Slice index 69. Axial slice.
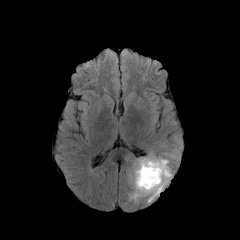
FLAIR MR image.
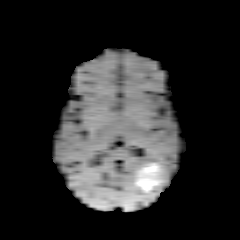
Same slice, T1-weighted MR image.
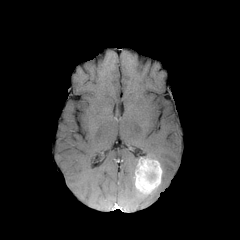
Post-contrast T1-weighted MRI.
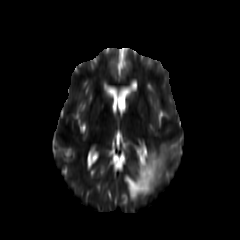
Same slice, T2-weighted MRI.
<segmentation>
  <enhancing_tumor>rect(134, 157, 162, 195)</enhancing_tumor>
  <peritumoral_edema>rect(127, 137, 181, 202)</peritumoral_edema>
</segmentation>